Brain. Slice index 107. 240x240.
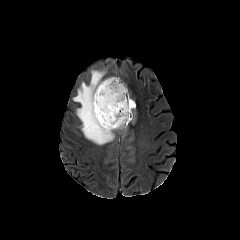
FLAIR MRI.
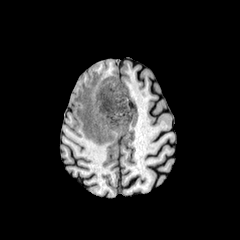
T1-weighted magnetic resonance.
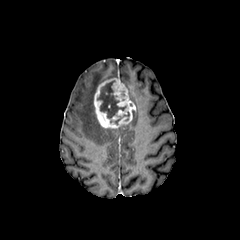
Post-contrast T1-weighted MRI of the same slice.
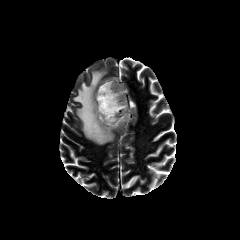
T2-weighted MR image.
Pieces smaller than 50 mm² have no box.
peritumoral edema: bounding box rect(73, 70, 117, 144)
necrotic tumor core: bounding box rect(97, 80, 126, 118)
enhancing tumor: bounding box rect(94, 78, 135, 128)